Slice 102/155, Head
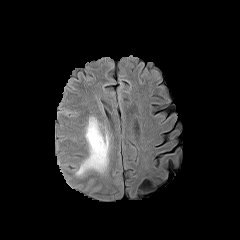
FLAIR magnetic resonance.
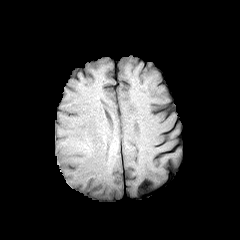
T1-weighted MR image of the same slice.
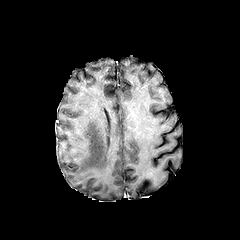
Post-contrast T1-weighted magnetic resonance of the same slice.
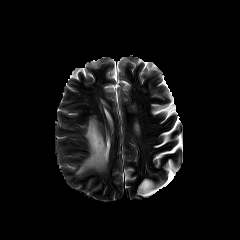
T2-weighted MR of the same slice.
The peritumoral edema is located at bbox=[76, 117, 109, 175].